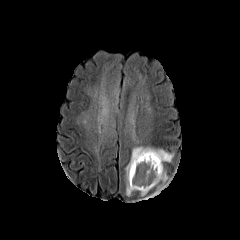
FLAIR MRI.
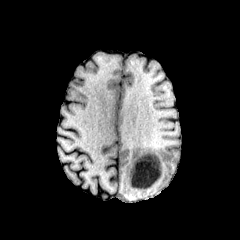
T1-weighted MRI of the same slice.
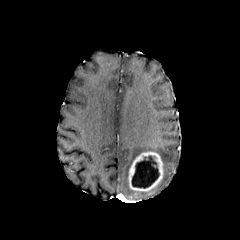
Post-contrast T1-weighted MR.
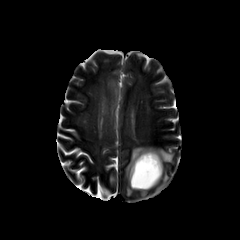
T2-weighted magnetic resonance.
Head.
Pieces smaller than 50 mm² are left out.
The necrotic tumor core is located at (132,156,159,188). The largest enhancing tumor region is located at (128,151,163,191). The 2 largest peritumoral edema regions appear at (149,168,168,196), (125,146,173,195).